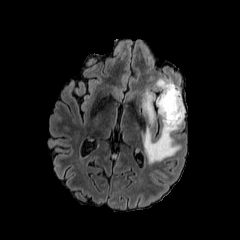
FLAIR MR.
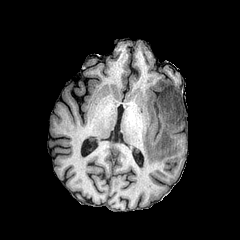
T1-weighted magnetic resonance.
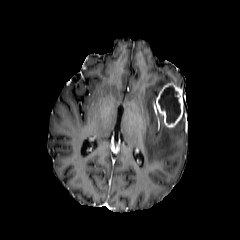
Post-contrast T1-weighted magnetic resonance.
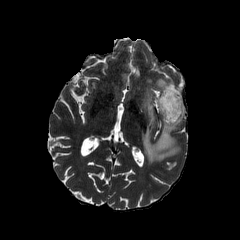
T2-weighted MR.
Head, Axial view
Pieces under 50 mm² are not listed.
peritumoral edema: [142,105,185,163], [156,79,171,90], [142,90,156,125] | enhancing tumor: [156,82,183,128] | necrotic tumor core: [158,85,180,123]